Axial plane, Slice index 45, 240x240 px
FLAIR MR.
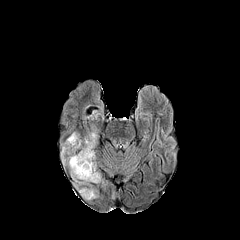
T1-weighted MR.
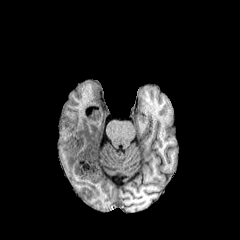
Post-contrast T1-weighted MR image.
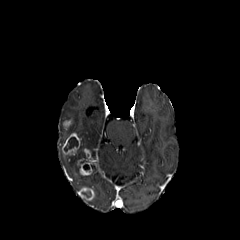
T2-weighted MR.
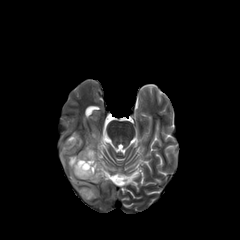
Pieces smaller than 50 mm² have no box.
necrotic tumor core = {"x1": 64, "y1": 137, "x2": 78, "y2": 151}
peritumoral edema = {"x1": 69, "y1": 150, "x2": 101, "y2": 183}, {"x1": 85, "y1": 132, "x2": 97, "y2": 150}
enhancing tumor = {"x1": 78, "y1": 148, "x2": 96, "y2": 175}, {"x1": 78, "y1": 187, "x2": 94, "y2": 200}, {"x1": 62, "y1": 133, "x2": 80, "y2": 154}, {"x1": 63, "y1": 120, "x2": 71, "y2": 129}